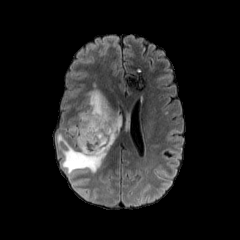
FLAIR MR.
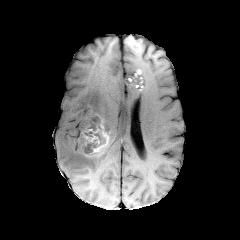
Same slice, T1-weighted MRI.
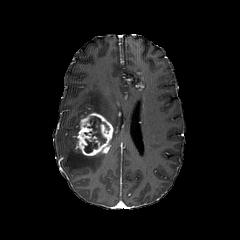
Post-contrast T1-weighted magnetic resonance.
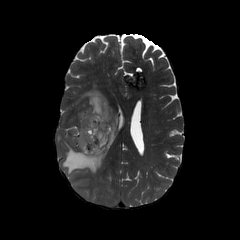
T2-weighted MR.
Head
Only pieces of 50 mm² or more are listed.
The largest enhancing tumor region is located at [77,112,113,156]. 3 peritumoral edema regions appear at [79,89,123,144], [70,125,79,144], [57,133,106,174]. The 2 largest necrotic tumor core regions are located at [84,139,97,152], [87,116,108,145].